FLAIR MR.
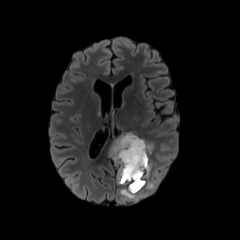
T1-weighted MR.
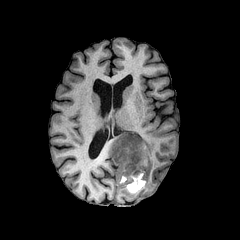
Post-contrast T1-weighted magnetic resonance.
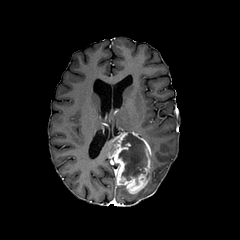
T2-weighted MRI.
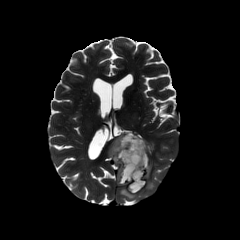
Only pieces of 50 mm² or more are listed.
The largest enhancing tumor region lies within x1=108, y1=132, x2=152, y2=193. The 2 largest peritumoral edema regions are located at x1=120, y1=188, x2=135, y2=198; x1=145, y1=178, x2=155, y2=190. The largest necrotic tumor core region lies within x1=119, y1=133, x2=146, y2=180.